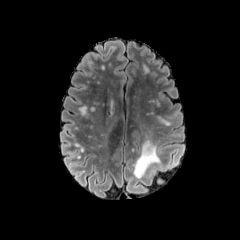
FLAIR magnetic resonance.
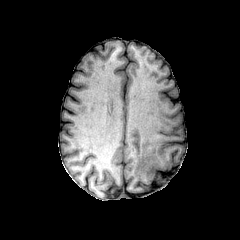
T1-weighted MRI.
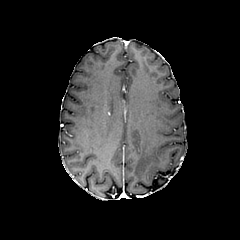
Post-contrast T1-weighted MRI of the same slice.
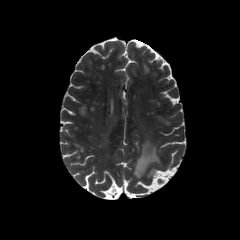
T2-weighted MR of the same slice.
Axial slice | Head
{"peritumoral_edema": ["l=133, t=139, r=160, b=178"]}